Brain
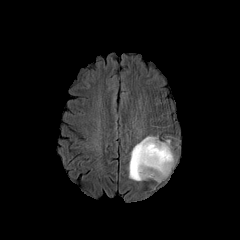
FLAIR magnetic resonance.
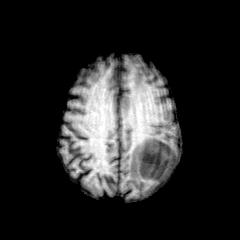
Same slice, T1-weighted MR.
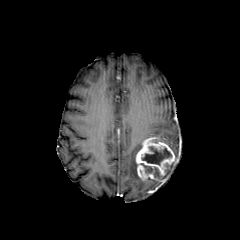
Same slice, post-contrast T1-weighted MRI.
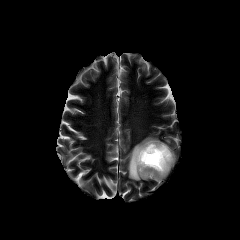
T2-weighted magnetic resonance.
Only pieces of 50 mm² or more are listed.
2 necrotic tumor core regions are bounded by (141,163,159,177), (141,146,171,164). The enhancing tumor lies within (136,137,175,181). The largest peritumoral edema region is at (128,136,153,181).